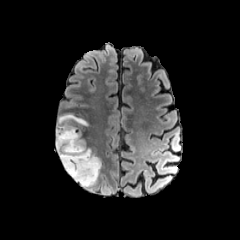
FLAIR MR.
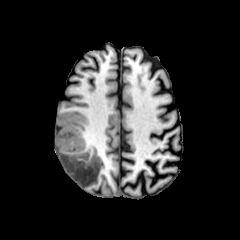
Same slice, T1-weighted MR.
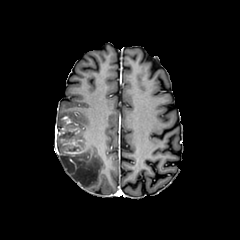
Same slice, post-contrast T1-weighted MRI.
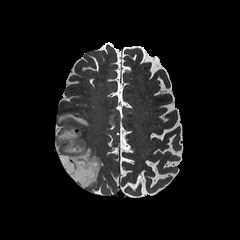
T2-weighted MR image.
Head, 240x240
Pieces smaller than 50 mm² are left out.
The peritumoral edema appears at [56, 110, 101, 187]. The largest necrotic tumor core region lies within [60, 131, 76, 139]. The enhancing tumor lies within [55, 116, 88, 155].